Axial plane, 240x240 px
FLAIR MR.
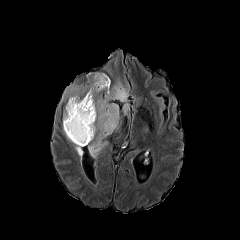
T1-weighted MR.
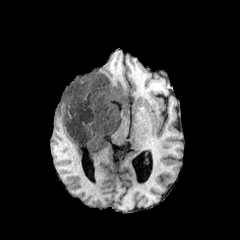
Post-contrast T1-weighted MRI.
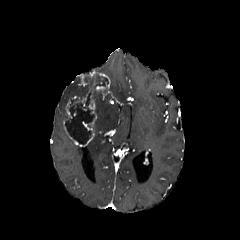
T2-weighted magnetic resonance.
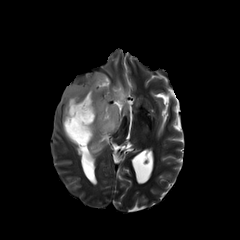
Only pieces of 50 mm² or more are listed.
<segmentation>
  <enhancing_tumor>region(63, 72, 110, 146)</enhancing_tumor>
  <peritumoral_edema>region(60, 74, 89, 103); region(63, 127, 82, 159); region(88, 78, 129, 157)</peritumoral_edema>
  <necrotic_tumor_core>region(94, 75, 108, 87); region(65, 91, 94, 144)</necrotic_tumor_core>
</segmentation>